FLAIR MRI.
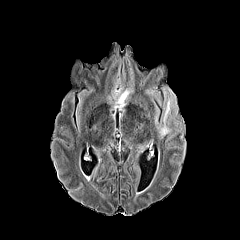
T1-weighted MR.
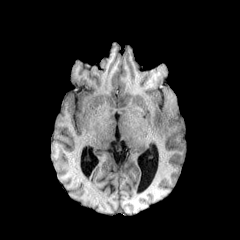
Post-contrast T1-weighted MRI.
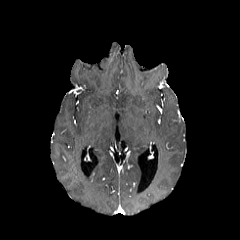
T2-weighted MRI.
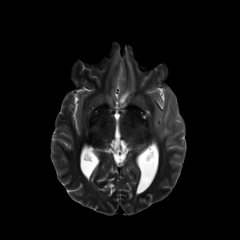
240x240
peritumoral_edema:
  - <bbox>118, 90, 129, 104</bbox>
  - <bbox>155, 101, 176, 137</bbox>